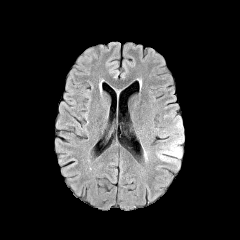
FLAIR MRI.
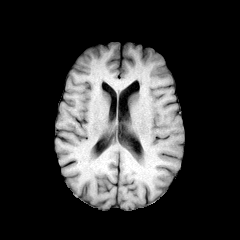
T1-weighted MR image of the same slice.
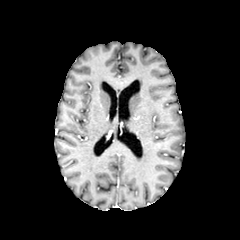
Post-contrast T1-weighted MR image.
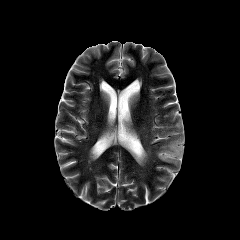
T2-weighted MRI.
Axial slice; Brain; 240x240
The peritumoral edema is at bbox=[156, 117, 183, 163].